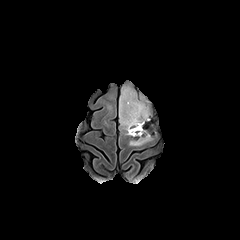
FLAIR magnetic resonance.
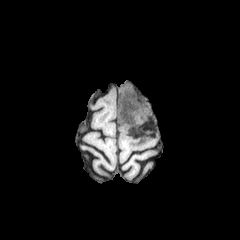
Same slice, T1-weighted MR image.
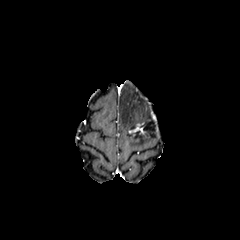
Same slice, post-contrast T1-weighted magnetic resonance.
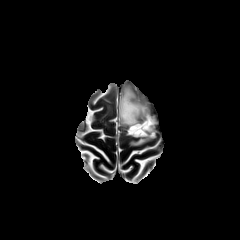
T2-weighted MRI of the same slice.
Brain; Image size 240x240
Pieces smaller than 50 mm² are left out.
2 peritumoral edema regions are located at (left=129, top=132, right=152, bottom=145), (left=119, top=85, right=150, bottom=134). The largest necrotic tumor core region is located at (left=122, top=94, right=139, bottom=112). The enhancing tumor appears at (left=128, top=123, right=144, bottom=135).